FLAIR MR.
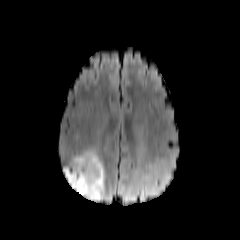
T1-weighted magnetic resonance.
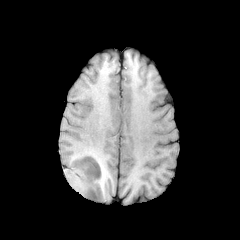
Post-contrast T1-weighted MRI.
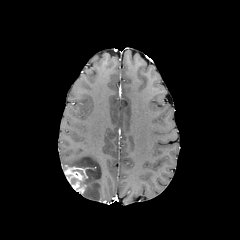
T2-weighted MRI.
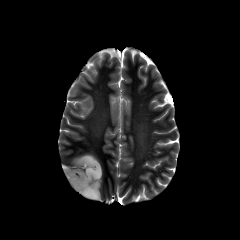
Head. Image size 240x240.
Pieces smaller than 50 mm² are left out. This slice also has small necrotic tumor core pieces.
peritumoral edema: [72, 152, 103, 200]
enhancing tumor: [64, 166, 86, 194]